FLAIR MR image.
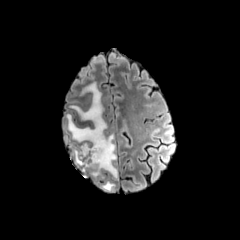
T1-weighted MRI.
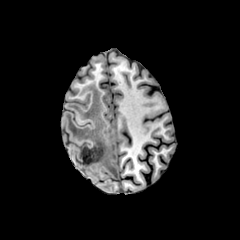
Post-contrast T1-weighted magnetic resonance.
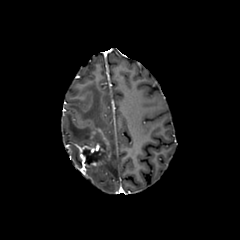
T2-weighted magnetic resonance.
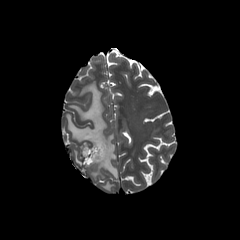
Axial slice. Head.
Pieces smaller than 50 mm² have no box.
The necrotic tumor core appears at left=82, top=132, right=108, bottom=164. The 3 largest peritumoral edema regions are bounded by left=87, top=134, right=117, bottom=178; left=101, top=181, right=115, bottom=191; left=66, top=82, right=107, bottom=167. The largest enhancing tumor region is located at left=78, top=128, right=110, bottom=171.